Image size 240x240 | Brain | Slice 61/155
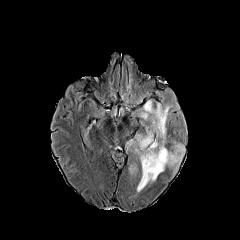
FLAIR MR image.
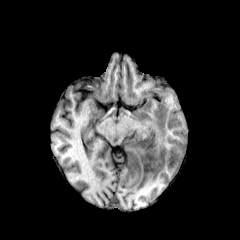
Same slice, T1-weighted MRI.
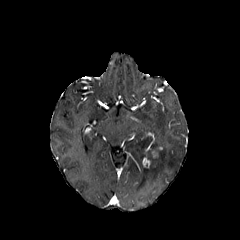
Post-contrast T1-weighted MR.
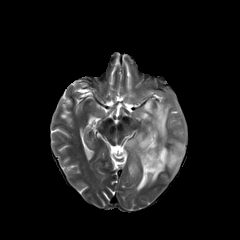
Same slice, T2-weighted MR.
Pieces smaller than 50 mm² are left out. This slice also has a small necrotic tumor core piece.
enhancing_tumor:
  - x1=142, y1=156, x2=150, y2=169
  - x1=152, y1=150, x2=158, y2=160
peritumoral_edema:
  - x1=125, y1=138, x2=135, y2=152
  - x1=135, y1=99, x2=184, y2=191
  - x1=128, y1=165, x2=137, y2=176